FLAIR magnetic resonance.
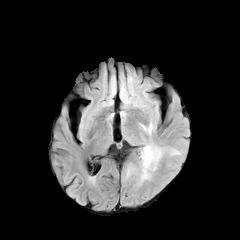
T1-weighted magnetic resonance.
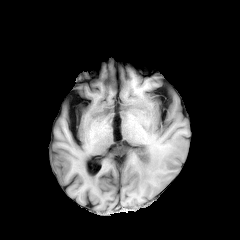
Post-contrast T1-weighted MRI.
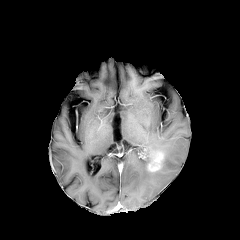
T2-weighted MRI.
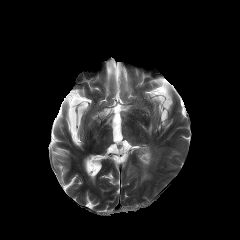
Head
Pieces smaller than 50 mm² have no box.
The largest enhancing tumor region lies within box=[148, 153, 162, 170]. The largest peritumoral edema region is at box=[141, 145, 160, 180].